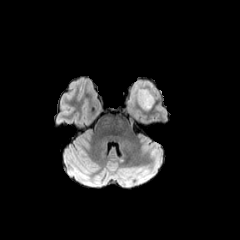
FLAIR MR image.
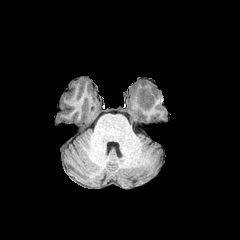
T1-weighted MR of the same slice.
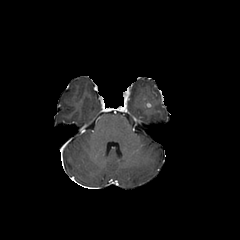
Same slice, post-contrast T1-weighted MR image.
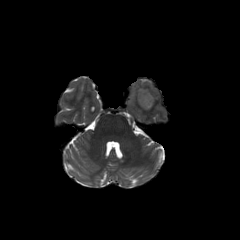
T2-weighted MR of the same slice.
Head
enhancing tumor = left=143, top=98, right=151, bottom=107
peritumoral edema = left=129, top=79, right=159, bottom=110